Image size 240x240 | Slice index 86 | Brain
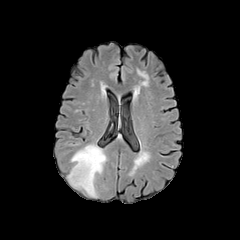
FLAIR MR.
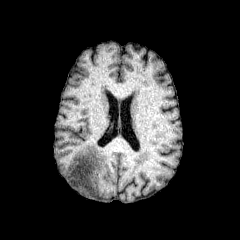
T1-weighted MR image.
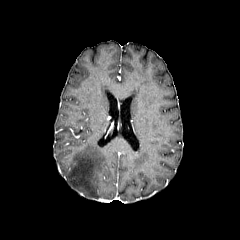
Post-contrast T1-weighted magnetic resonance of the same slice.
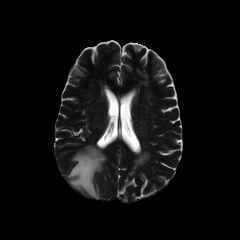
T2-weighted MR image.
The peritumoral edema is bounded by left=67, top=145, right=106, bottom=197.